Axial plane, Slice 96/155
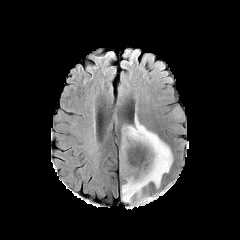
FLAIR MRI.
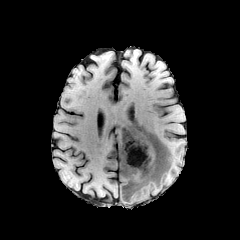
T1-weighted magnetic resonance of the same slice.
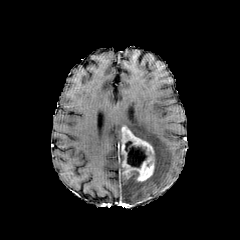
Post-contrast T1-weighted MR image of the same slice.
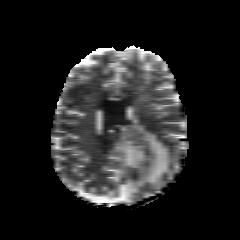
T2-weighted MR of the same slice.
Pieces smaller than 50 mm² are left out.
The necrotic tumor core lies within box=[125, 141, 147, 167]. The largest peritumoral edema region is at box=[121, 117, 172, 202]. The enhancing tumor is at box=[121, 126, 154, 181].